Slice 105 of 155, Brain
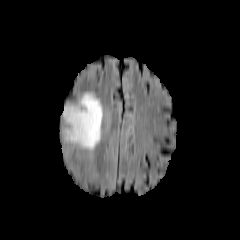
FLAIR MR image.
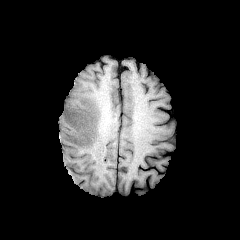
T1-weighted MRI.
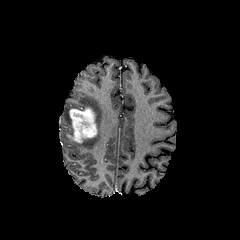
Post-contrast T1-weighted MRI.
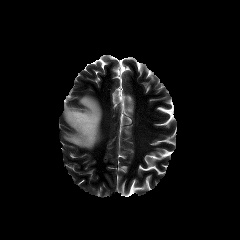
Same slice, T2-weighted MR.
peritumoral_edema:
  - left=63, top=93, right=102, bottom=150
enhancing_tumor:
  - left=67, top=107, right=97, bottom=143